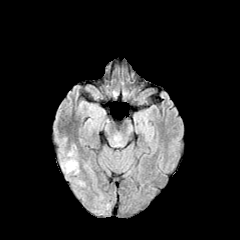
FLAIR MR image.
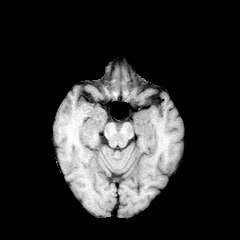
T1-weighted MR.
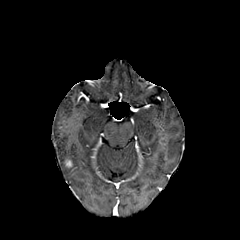
Post-contrast T1-weighted MRI.
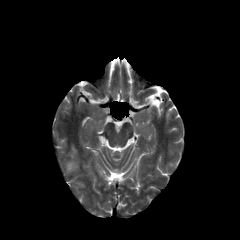
T2-weighted MR image.
240x240 px; Axial plane; Head
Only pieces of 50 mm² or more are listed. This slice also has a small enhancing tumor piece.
peritumoral_edema:
  - (61,149,78,173)